FLAIR MRI.
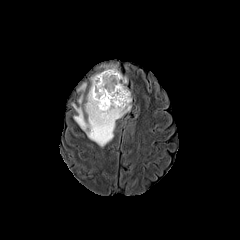
T1-weighted MR.
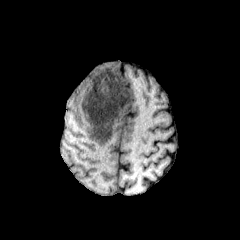
Post-contrast T1-weighted magnetic resonance.
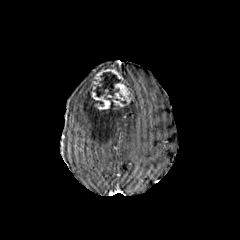
T2-weighted MRI.
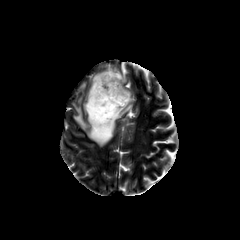
Axial plane; Head
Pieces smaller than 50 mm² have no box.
necrotic tumor core — (93,71,120,97), (99,95,123,111), (92,98,103,106)
enhancing tumor — (91,68,132,109)
peritumoral edema — (72,88,131,147)